FLAIR MRI.
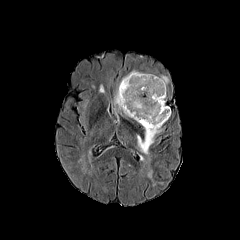
T1-weighted MR image.
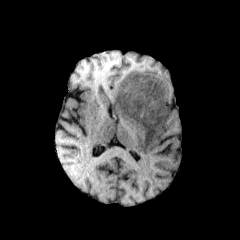
Post-contrast T1-weighted magnetic resonance.
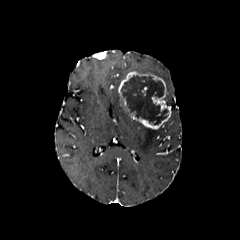
T2-weighted magnetic resonance.
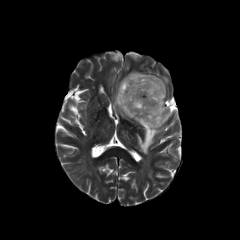
Axial slice | 240x240
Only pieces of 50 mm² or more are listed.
Findings:
* necrotic tumor core: (x1=121, y1=76, x2=167, y2=124)
* peritumoral edema: (x1=114, y1=85, x2=127, y2=115), (x1=137, y1=127, x2=161, y2=154), (x1=158, y1=75, x2=168, y2=86)
* enhancing tumor: (x1=118, y1=71, x2=171, y2=129)